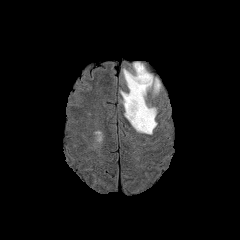
FLAIR magnetic resonance.
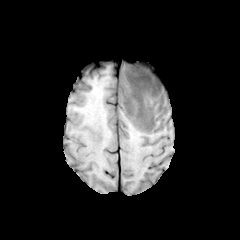
T1-weighted MRI.
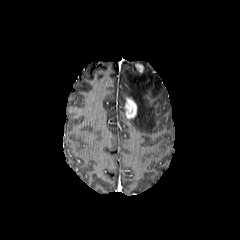
Post-contrast T1-weighted MR image.
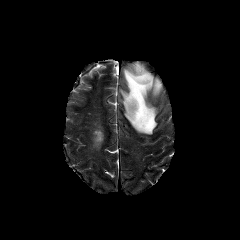
T2-weighted magnetic resonance.
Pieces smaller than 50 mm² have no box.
enhancing tumor: bounding box bbox=[125, 98, 136, 118]
peritumoral edema: bounding box bbox=[121, 62, 161, 134]